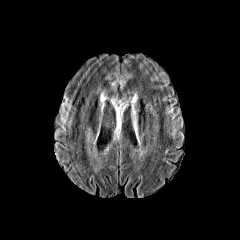
FLAIR MR.
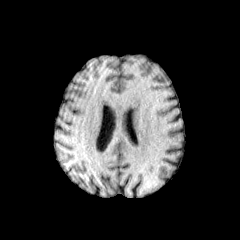
Same slice, T1-weighted MRI.
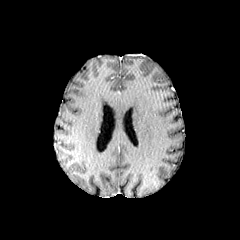
Post-contrast T1-weighted MRI of the same slice.
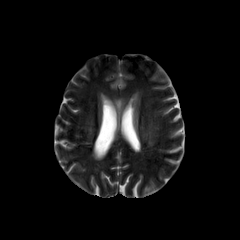
T2-weighted magnetic resonance.
Axial view
<segmentation>
  <peritumoral_edema>[x1=100, y1=87, x2=139, y2=123], [x1=104, y1=72, x2=132, y2=91]</peritumoral_edema>
</segmentation>